FLAIR MR image.
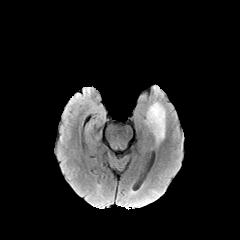
T1-weighted MRI.
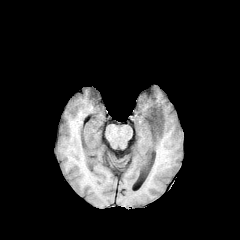
Post-contrast T1-weighted MRI.
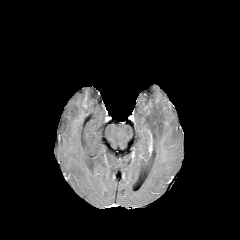
T2-weighted magnetic resonance.
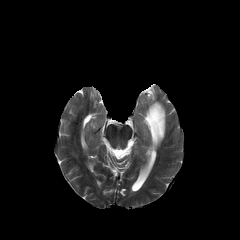
Axial slice
The peritumoral edema appears at <box>145,102,165,143</box>.